FLAIR MR.
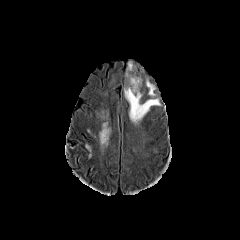
T1-weighted MRI.
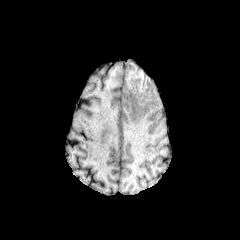
Post-contrast T1-weighted MR.
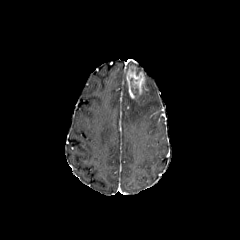
T2-weighted MRI.
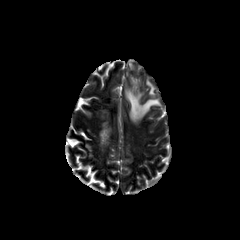
Axial plane
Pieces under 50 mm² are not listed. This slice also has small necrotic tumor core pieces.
peritumoral edema: [124, 78, 160, 124] | enhancing tumor: [126, 66, 148, 98]